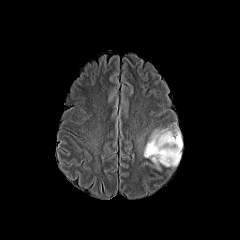
FLAIR magnetic resonance.
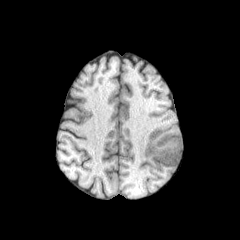
T1-weighted MR.
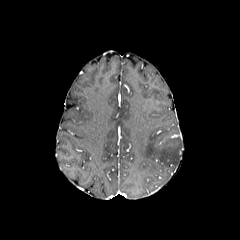
Post-contrast T1-weighted MR image of the same slice.
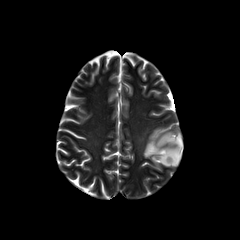
Same slice, T2-weighted MR image.
Brain | Axial view
The peritumoral edema lies within 143, 128, 182, 169.